FLAIR magnetic resonance.
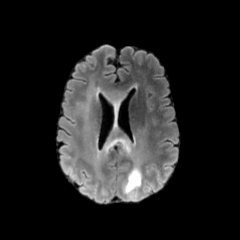
T1-weighted magnetic resonance.
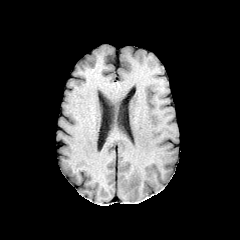
Post-contrast T1-weighted MR.
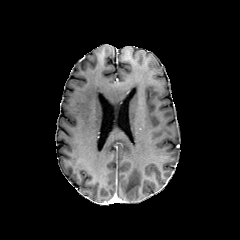
T2-weighted MRI.
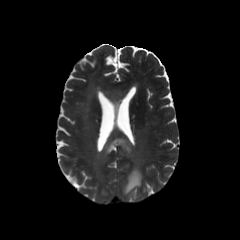
Head | Image size 240x240
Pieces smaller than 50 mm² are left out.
peritumoral edema — {"x1": 105, "y1": 90, "x2": 124, "y2": 100}, {"x1": 104, "y1": 128, "x2": 147, "y2": 193}